FLAIR MR.
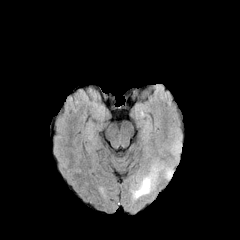
T1-weighted magnetic resonance.
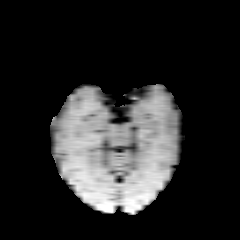
Post-contrast T1-weighted MR image.
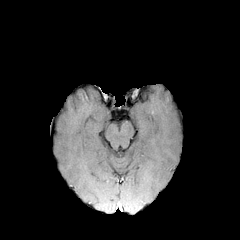
T2-weighted MRI.
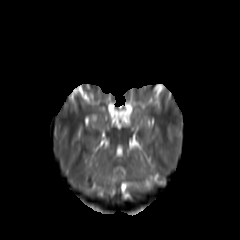
Brain | 240x240 px
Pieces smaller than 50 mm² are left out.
peritumoral edema at box(131, 164, 158, 198)